Slice 93 of 155 | Axial plane | Brain | 240x240 px | Image covers 240 mm x 240 mm
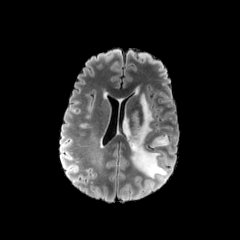
FLAIR MR image.
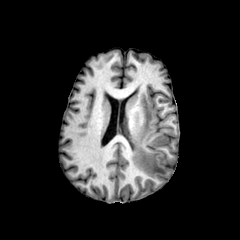
T1-weighted MRI of the same slice.
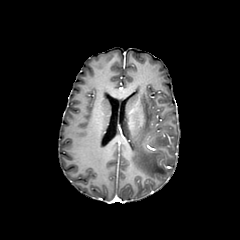
Post-contrast T1-weighted MRI.
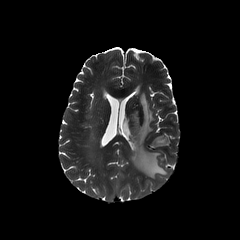
T2-weighted MR image.
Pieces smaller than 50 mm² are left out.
The 2 largest peritumoral edema regions appear at {"x1": 122, "y1": 95, "x2": 167, "y2": 177}, {"x1": 150, "y1": 135, "x2": 167, "y2": 147}.